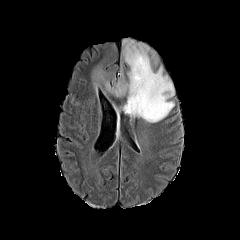
FLAIR MR.
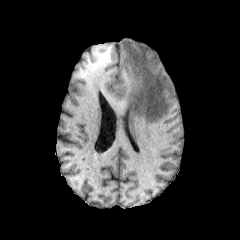
T1-weighted MRI of the same slice.
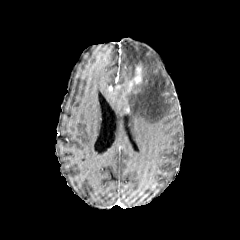
Post-contrast T1-weighted magnetic resonance.
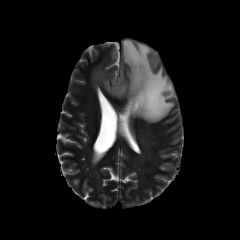
Same slice, T2-weighted magnetic resonance.
Head
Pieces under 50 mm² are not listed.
peritumoral edema at box(122, 38, 174, 122); box(91, 62, 127, 97)
enhancing tumor at box(128, 63, 142, 91)